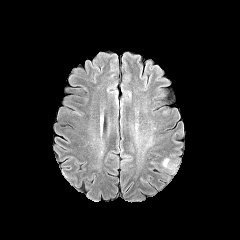
FLAIR magnetic resonance.
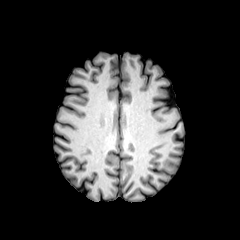
T1-weighted MR image.
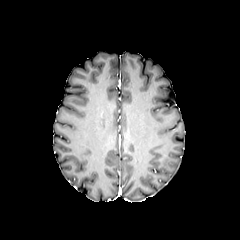
Post-contrast T1-weighted MRI.
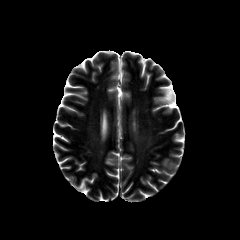
T2-weighted MR image.
240x240
The peritumoral edema is at 162, 158, 177, 173.